FLAIR magnetic resonance.
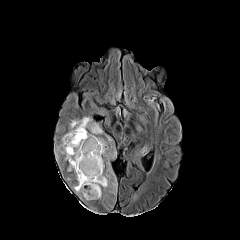
T1-weighted MR image.
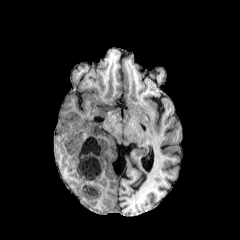
Post-contrast T1-weighted MR image.
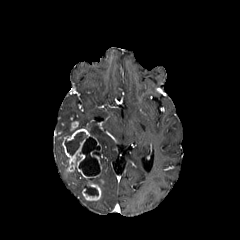
T2-weighted MRI.
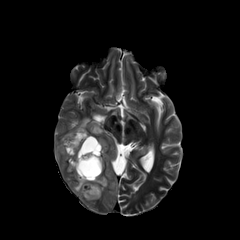
Head; Axial plane
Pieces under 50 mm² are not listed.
Findings:
- peritumoral edema: (55,143,68,160), (61,117,102,142), (109,169,116,193), (73,155,109,193), (97,137,107,156)
- necrotic tumor core: (65,132,100,176), (84,185,98,196)
- enhancing tumor: (82,181,101,200), (71,121,78,130), (62,128,101,179), (90,151,102,172)